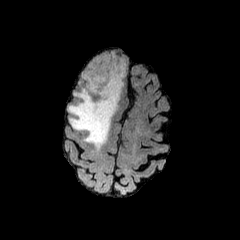
FLAIR MR image.
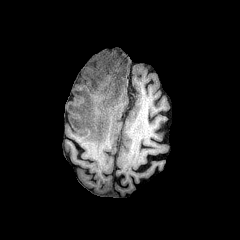
T1-weighted MR image.
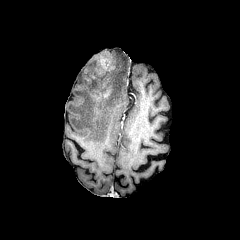
Post-contrast T1-weighted MR image.
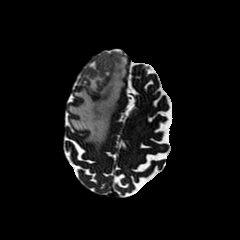
T2-weighted MR image.
Image size 240x240.
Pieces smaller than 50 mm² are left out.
<segmentation>
  <enhancing_tumor>box=[90, 52, 114, 81]</enhancing_tumor>
  <peritumoral_edema>box=[68, 52, 126, 149]</peritumoral_edema>
</segmentation>